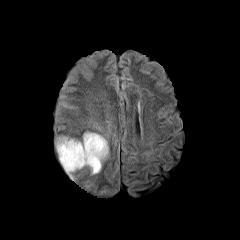
FLAIR MR image.
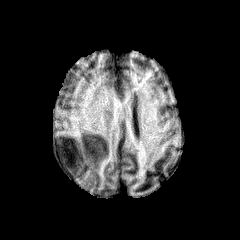
T1-weighted MR image.
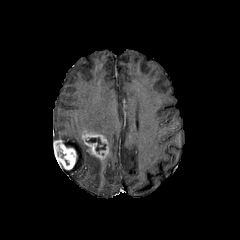
Same slice, post-contrast T1-weighted MRI.
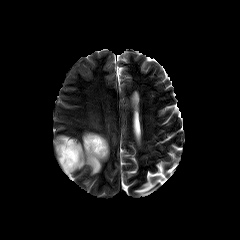
T2-weighted MR image.
{"necrotic_tumor_core": ["87, 138, 106, 151"], "peritumoral_edema": ["58, 136, 102, 174"], "enhancing_tumor": ["82, 132, 108, 160", "54, 139, 77, 170"]}